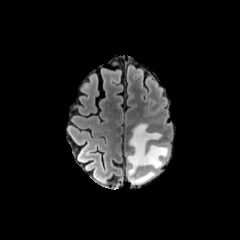
FLAIR MRI.
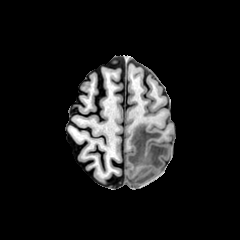
T1-weighted magnetic resonance.
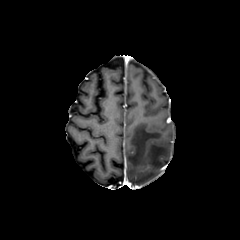
Post-contrast T1-weighted MRI.
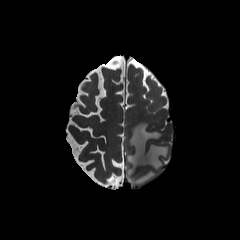
T2-weighted MRI of the same slice.
Axial slice | 240x240 px | Brain
The peritumoral edema is bounded by [x1=126, y1=123, x2=169, y2=184].